Head.
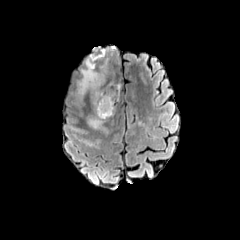
FLAIR MR image.
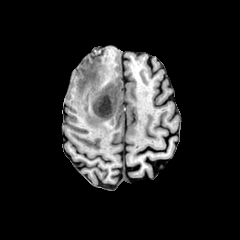
T1-weighted MRI.
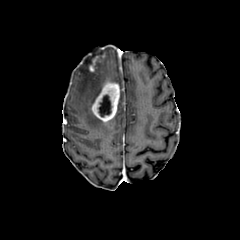
Same slice, post-contrast T1-weighted magnetic resonance.
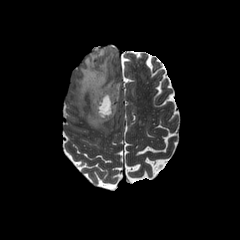
T2-weighted MRI.
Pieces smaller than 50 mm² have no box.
necrotic_tumor_core:
  - bbox(98, 95, 111, 116)
enhancing_tumor:
  - bbox(92, 82, 119, 121)
peritumoral_edema:
  - bbox(77, 49, 107, 102)
  - bbox(87, 115, 106, 130)